FLAIR magnetic resonance.
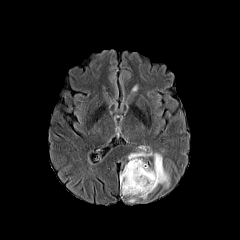
T1-weighted magnetic resonance.
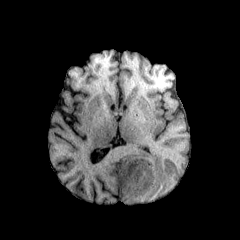
Post-contrast T1-weighted magnetic resonance.
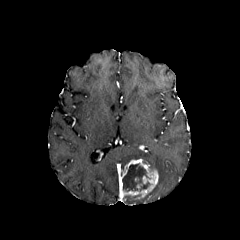
T2-weighted magnetic resonance.
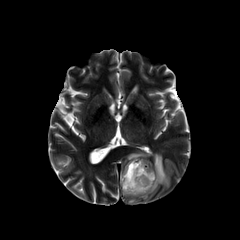
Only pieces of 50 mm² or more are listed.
- necrotic tumor core: 122 164 146 191
- enhancing tumor: 119 159 158 198
- peritumoral edema: 125 196 138 202, 127 151 169 191